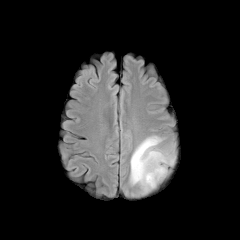
FLAIR MR.
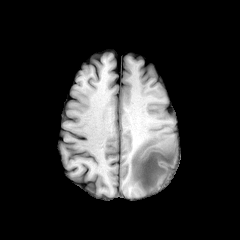
T1-weighted MR image.
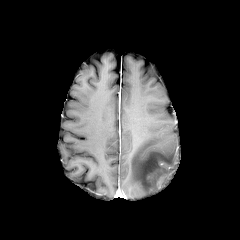
Post-contrast T1-weighted MR image.
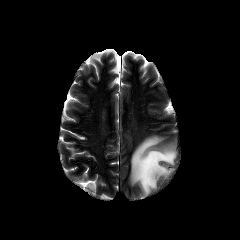
T2-weighted magnetic resonance.
Axial slice
{"peritumoral_edema": ["x1=130, y1=136, x2=175, y2=193"]}